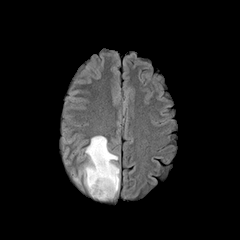
FLAIR MR.
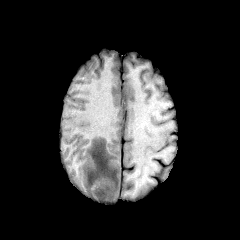
T1-weighted MR image.
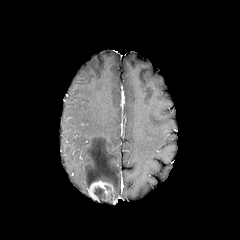
Same slice, post-contrast T1-weighted MR image.
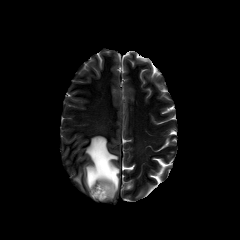
Same slice, T2-weighted MR.
Axial view; Head
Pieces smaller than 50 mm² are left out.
necrotic tumor core: bounding box box=[94, 188, 105, 200]
enhancing tumor: bounding box box=[87, 180, 115, 200]
peritumoral edema: bounding box box=[74, 135, 119, 196]